Axial view | Slice index 62
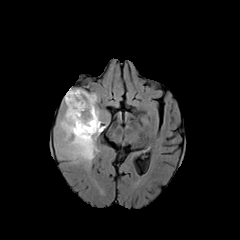
FLAIR MRI.
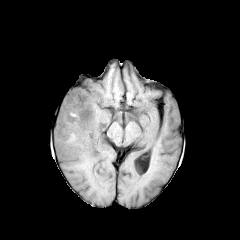
Same slice, T1-weighted MRI.
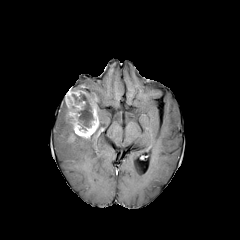
Post-contrast T1-weighted MR image of the same slice.
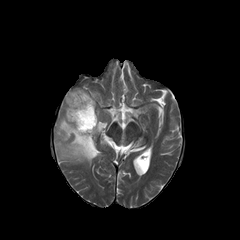
T2-weighted MRI of the same slice.
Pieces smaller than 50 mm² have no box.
enhancing tumor at bbox=[65, 89, 99, 138]
peritumoral edema at bbox=[56, 107, 105, 164]
necrotic tumor core at bbox=[72, 93, 93, 127]